Axial view, Brain
FLAIR MR image.
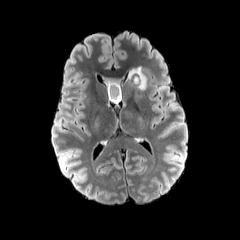
T1-weighted MR.
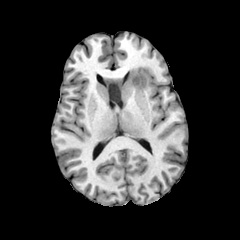
Post-contrast T1-weighted MRI.
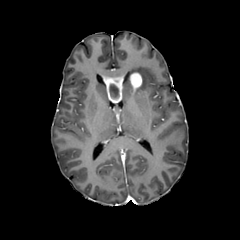
T2-weighted MRI.
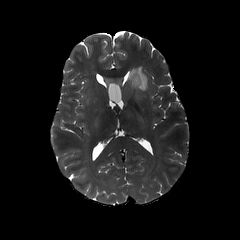
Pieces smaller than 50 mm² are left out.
peritumoral_edema:
  - bbox=[125, 65, 147, 90]
enhancing_tumor:
  - bbox=[130, 72, 142, 90]
  - bbox=[103, 75, 123, 103]
necrotic_tumor_core:
  - bbox=[132, 75, 139, 84]
  - bbox=[110, 85, 118, 96]